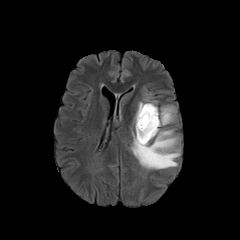
FLAIR MRI.
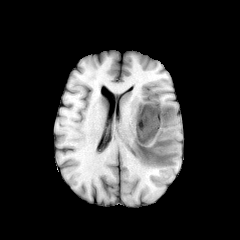
T1-weighted magnetic resonance.
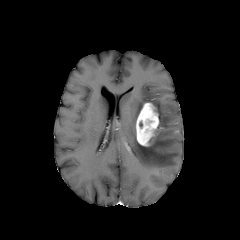
Post-contrast T1-weighted MRI.
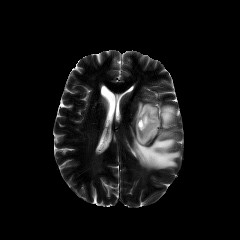
T2-weighted magnetic resonance of the same slice.
Axial view
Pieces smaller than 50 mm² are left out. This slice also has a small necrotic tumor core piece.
The enhancing tumor appears at left=136, top=103, right=159, bottom=146. The peritumoral edema lies within left=131, top=98, right=180, bottom=169.